FLAIR MRI.
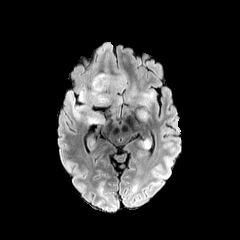
T1-weighted MR.
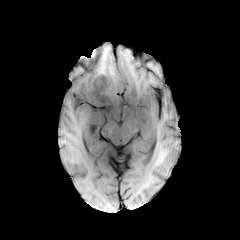
Post-contrast T1-weighted MR image.
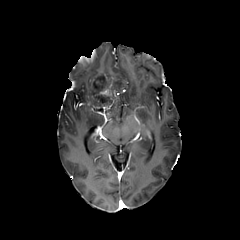
T2-weighted MRI.
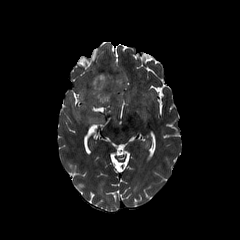
Axial plane | Head
3 peritumoral edema regions are bounded by <box>71,74,155,123</box>, <box>137,109,147,121</box>, <box>69,91,75,105</box>.